FLAIR magnetic resonance.
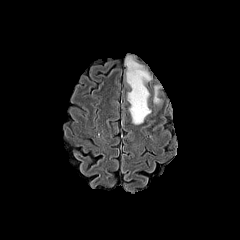
T1-weighted MR image.
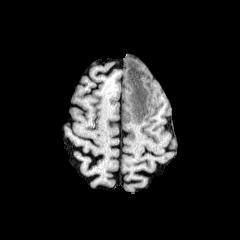
Post-contrast T1-weighted MR.
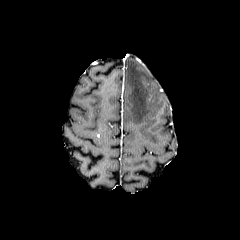
T2-weighted MR.
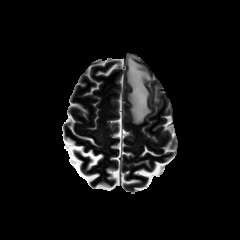
Head; Axial slice
2 peritumoral edema regions appear at (126, 56, 151, 124), (154, 86, 159, 102).